FLAIR MR image.
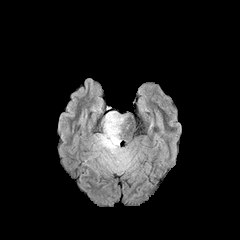
T1-weighted MR.
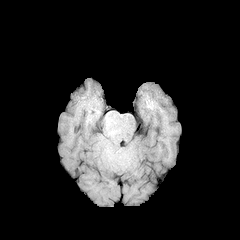
Post-contrast T1-weighted MR image.
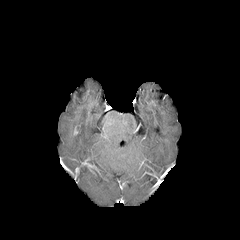
T2-weighted magnetic resonance.
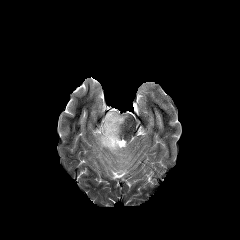
Brain
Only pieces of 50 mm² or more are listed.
The largest peritumoral edema region appears at {"x1": 93, "y1": 111, "x2": 133, "y2": 172}.